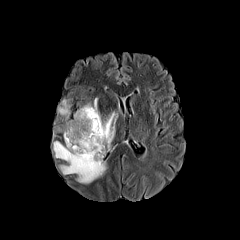
FLAIR MR image.
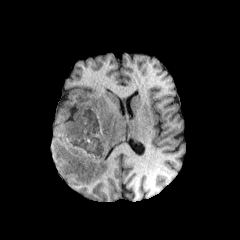
T1-weighted MRI.
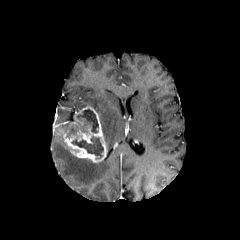
Post-contrast T1-weighted MR image.
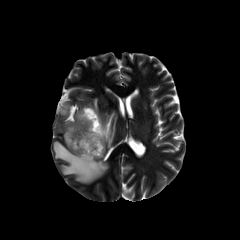
T2-weighted MR of the same slice.
240x240 px
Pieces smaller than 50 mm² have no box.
* necrotic tumor core: [76, 109, 98, 132], [66, 125, 77, 138], [71, 136, 103, 158]
* peritumoral edema: [83, 98, 117, 150], [53, 141, 107, 183], [57, 100, 71, 118]
* enhancing tumor: [63, 106, 107, 162]